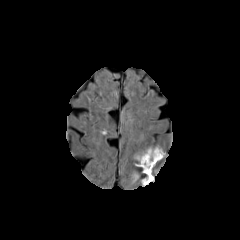
FLAIR MR.
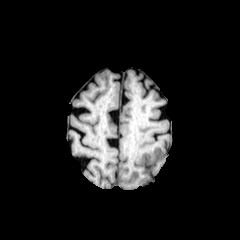
T1-weighted MR of the same slice.
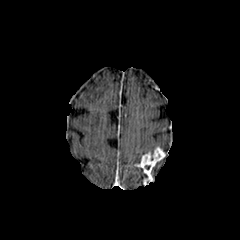
Post-contrast T1-weighted MRI.
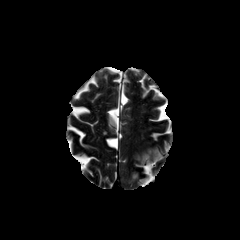
Same slice, T2-weighted MRI.
Axial view
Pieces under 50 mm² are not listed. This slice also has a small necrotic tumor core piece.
• peritumoral edema: bbox(134, 146, 155, 163)
• enhancing tumor: bbox(136, 147, 165, 185)